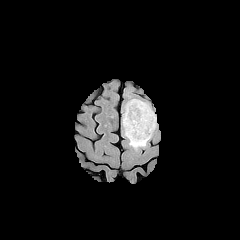
FLAIR MRI.
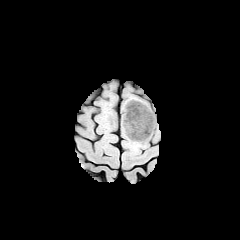
T1-weighted magnetic resonance of the same slice.
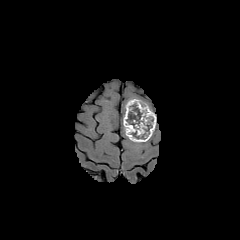
Post-contrast T1-weighted MRI.
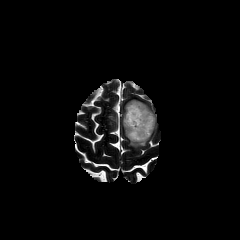
T2-weighted MR of the same slice.
240x240 px
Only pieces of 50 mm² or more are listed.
The largest necrotic tumor core region is at x1=126 y1=104 x2=141 y2=127. The largest peritumoral edema region lies within x1=129 y1=139 x2=146 y2=148. The enhancing tumor lies within x1=123 y1=99 x2=156 y2=142.